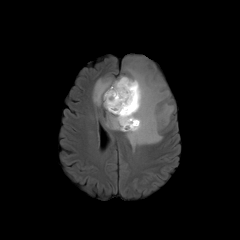
FLAIR MR.
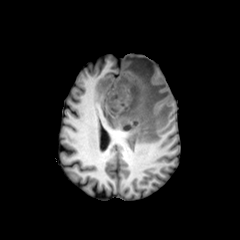
T1-weighted MRI.
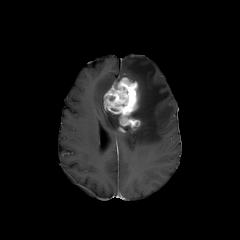
Post-contrast T1-weighted magnetic resonance.
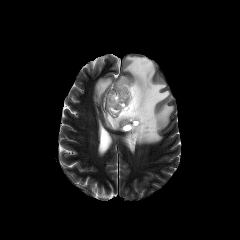
T2-weighted MRI.
Brain
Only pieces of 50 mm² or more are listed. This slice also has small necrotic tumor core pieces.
{
  "peritumoral_edema": [
    {"x1": 104, "y1": 110, "x2": 120, "y2": 130},
    {"x1": 93, "y1": 57, "x2": 174, "y2": 150}
  ],
  "enhancing_tumor": [
    {"x1": 103, "y1": 77, "x2": 140, "y2": 132}
  ]
}